FLAIR magnetic resonance.
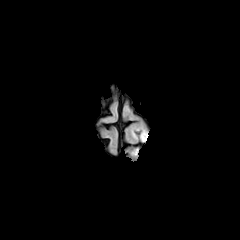
T1-weighted MR image.
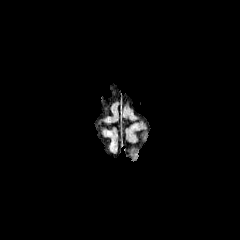
Post-contrast T1-weighted MR.
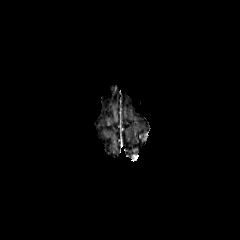
T2-weighted MR image.
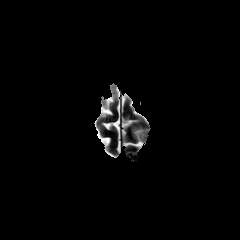
Head
The peritumoral edema appears at box=[131, 126, 147, 139]. The enhancing tumor is located at box=[139, 132, 148, 140].